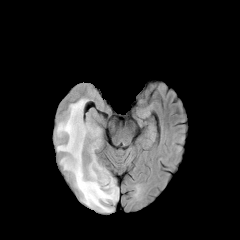
FLAIR MR image.
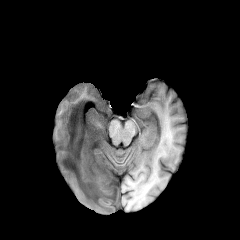
T1-weighted MR image.
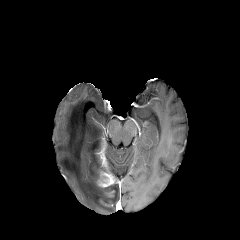
Post-contrast T1-weighted MR.
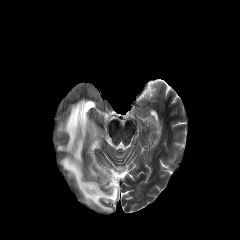
T2-weighted MR.
Head, Axial plane
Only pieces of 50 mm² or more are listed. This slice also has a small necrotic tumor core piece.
Annotated regions:
* enhancing tumor: [x1=97, y1=158, x2=117, y2=187]
* peritumoral edema: [x1=56, y1=98, x2=118, y2=212]